FLAIR magnetic resonance.
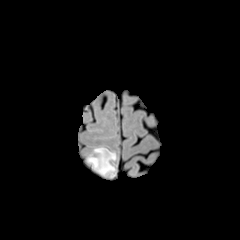
T1-weighted magnetic resonance.
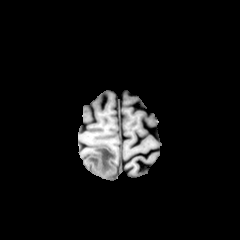
Post-contrast T1-weighted MRI.
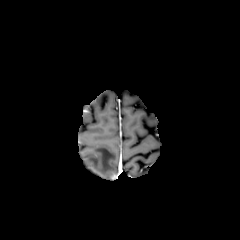
T2-weighted MRI.
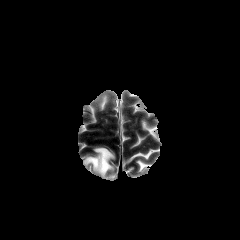
Brain
peritumoral edema at (88,148,114,174)